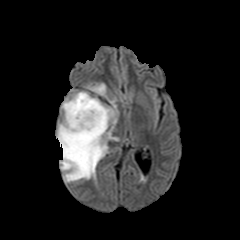
FLAIR MRI.
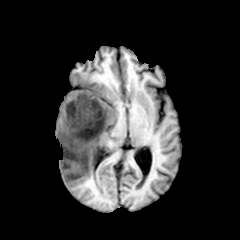
T1-weighted magnetic resonance.
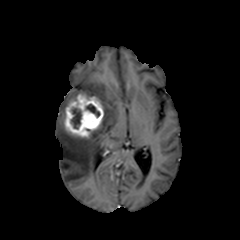
Post-contrast T1-weighted MR.
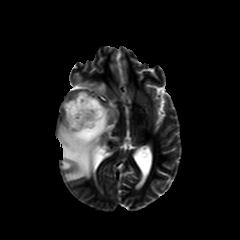
Same slice, T2-weighted MR image.
240x240 px; Brain
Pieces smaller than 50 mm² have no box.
Annotated regions:
* peritumoral edema: left=86, top=83, right=105, bottom=96; left=71, top=91, right=90, bottom=99; left=56, top=100, right=118, bottom=182
* enhancing tumor: left=64, top=93, right=103, bottom=138
* necrotic tumor core: left=71, top=108, right=81, bottom=128; left=86, top=104, right=99, bottom=117